FLAIR MR.
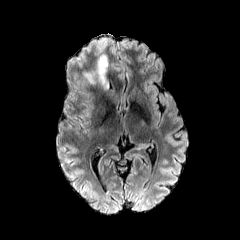
T1-weighted magnetic resonance.
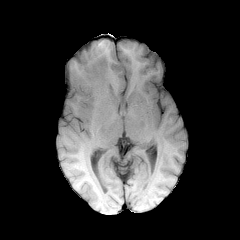
Post-contrast T1-weighted magnetic resonance.
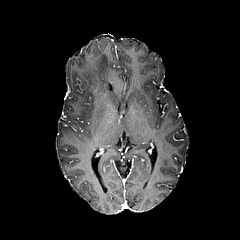
T2-weighted MR.
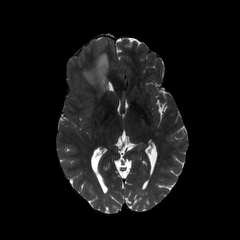
The peritumoral edema appears at [83,54,107,88].